FLAIR MR.
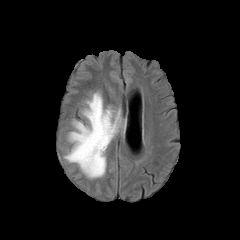
T1-weighted MRI.
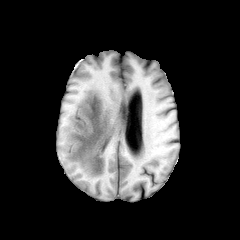
Post-contrast T1-weighted magnetic resonance.
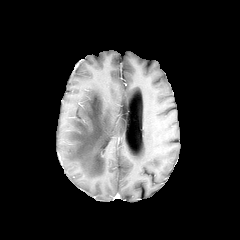
T2-weighted MRI.
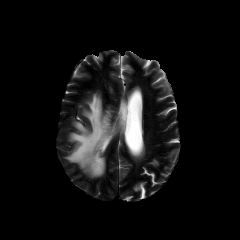
Head
peritumoral edema: [x1=65, y1=92, x2=126, y2=177]